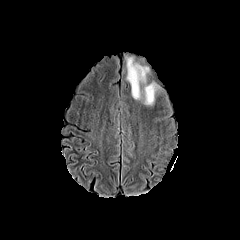
FLAIR MR.
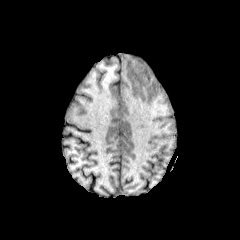
T1-weighted MR.
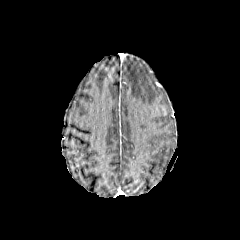
Post-contrast T1-weighted magnetic resonance.
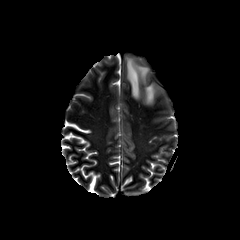
T2-weighted magnetic resonance.
Brain
2 peritumoral edema regions are bounded by box=[143, 80, 161, 107]; box=[125, 55, 150, 99].